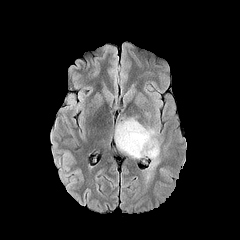
FLAIR MR.
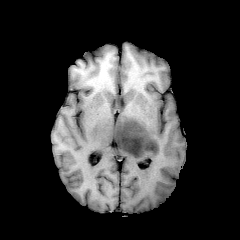
Same slice, T1-weighted MR image.
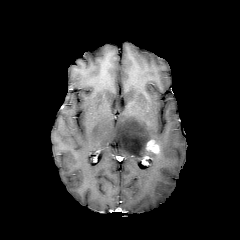
Post-contrast T1-weighted MRI.
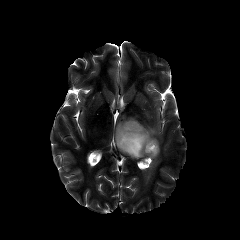
T2-weighted magnetic resonance.
Head.
peritumoral edema = x1=114, y1=117, x2=160, y2=177
enhancing tumor = x1=145, y1=139, x2=160, y2=153